FLAIR MRI.
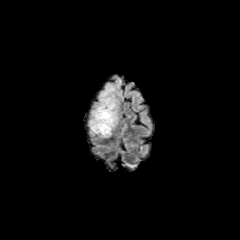
T1-weighted MR image.
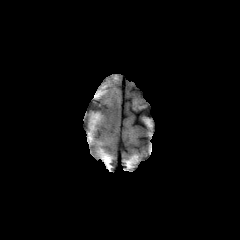
Post-contrast T1-weighted MRI.
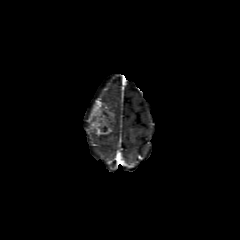
T2-weighted magnetic resonance.
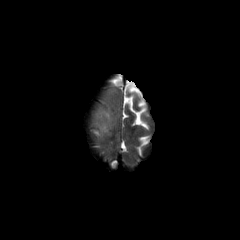
Axial view; Image size 240x240
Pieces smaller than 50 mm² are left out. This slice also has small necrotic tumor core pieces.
peritumoral_edema:
  - (90,131,111,138)
  - (100,89,117,127)
enhancing_tumor:
  - (88,98,115,135)